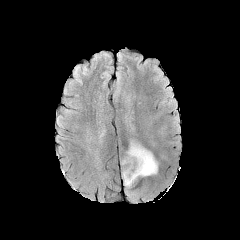
FLAIR MR.
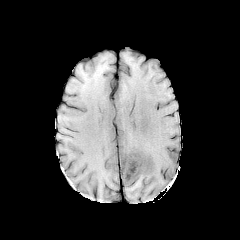
T1-weighted MR.
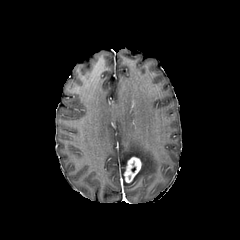
Post-contrast T1-weighted MR of the same slice.
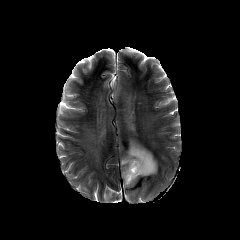
Same slice, T2-weighted MRI.
Brain.
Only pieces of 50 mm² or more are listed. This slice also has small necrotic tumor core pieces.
enhancing tumor: [124, 157, 141, 183] | peritumoral edema: [121, 140, 157, 187]